240x240 px | Slice index 31 | Axial slice
FLAIR magnetic resonance.
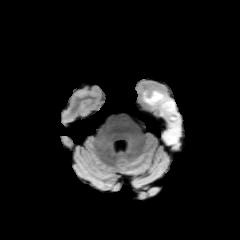
T1-weighted MRI.
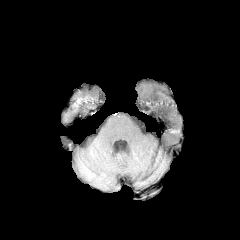
Post-contrast T1-weighted MRI.
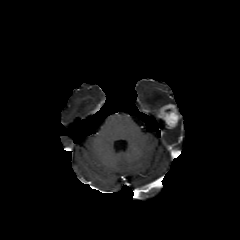
T2-weighted MR.
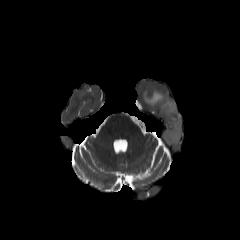
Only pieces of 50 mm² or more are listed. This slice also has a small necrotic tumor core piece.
peritumoral edema at box=[143, 90, 175, 110]; box=[163, 120, 181, 144]
enhancing tumor at box=[159, 104, 181, 128]